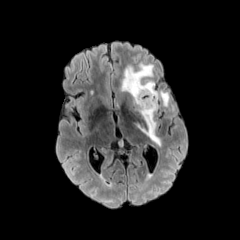
FLAIR MRI.
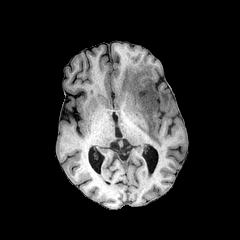
T1-weighted MR image.
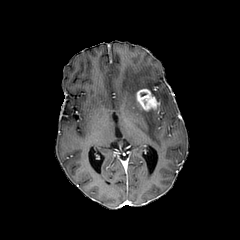
Post-contrast T1-weighted MRI.
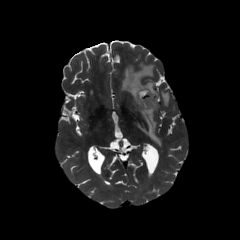
Same slice, T2-weighted magnetic resonance.
Image size 240x240. Head.
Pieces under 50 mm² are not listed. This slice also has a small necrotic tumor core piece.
enhancing_tumor:
  - left=136, top=89, right=159, bottom=111
peritumoral_edema:
  - left=121, top=63, right=169, bottom=146